Brain, Axial plane, Image size 240x240
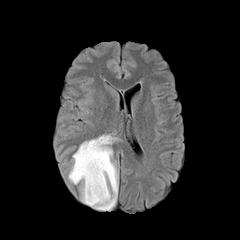
FLAIR MR image.
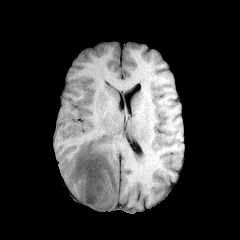
T1-weighted MRI.
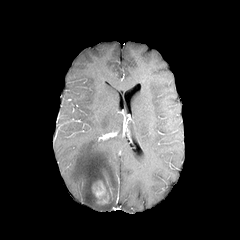
Post-contrast T1-weighted MRI.
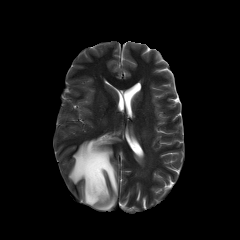
T2-weighted MRI of the same slice.
• enhancing tumor: <box>92,180,108,203</box>
• peritumoral edema: <box>68,137,117,210</box>